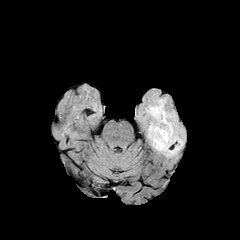
FLAIR MR image.
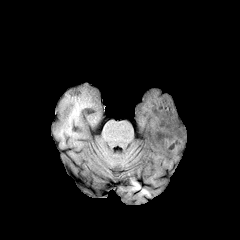
T1-weighted MRI.
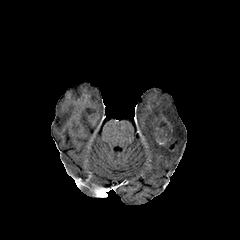
Post-contrast T1-weighted MR of the same slice.
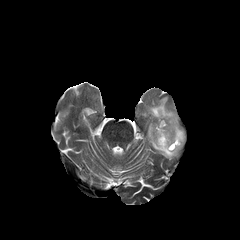
Same slice, T2-weighted magnetic resonance.
Image size 240x240; Brain
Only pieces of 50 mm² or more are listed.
<segmentation>
  <enhancing_tumor>left=156, top=133, right=169, bottom=146; left=160, top=116, right=172, bottom=133</enhancing_tumor>
  <necrotic_tumor_core>left=156, top=121, right=170, bottom=137</necrotic_tumor_core>
  <peritumoral_edema>left=146, top=97, right=185, bottom=157</peritumoral_edema>
</segmentation>